240x240; Image width 240 mm, 1.00 mm slice spacing; Slice index 95; Axial slice
FLAIR MRI.
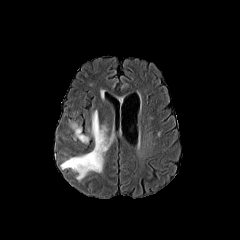
T1-weighted MR image.
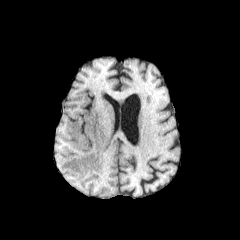
Post-contrast T1-weighted MR.
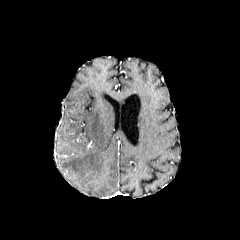
T2-weighted MR.
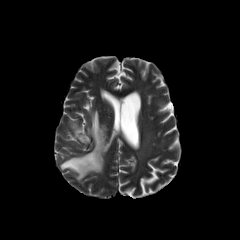
peritumoral_edema:
  - 60 110 113 180
  - 70 122 88 144